240x240 px.
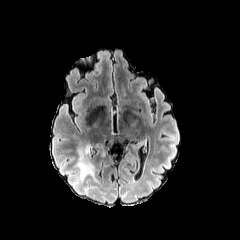
FLAIR MRI.
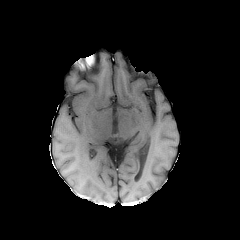
T1-weighted magnetic resonance.
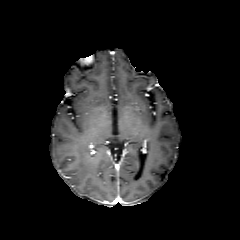
Post-contrast T1-weighted MRI.
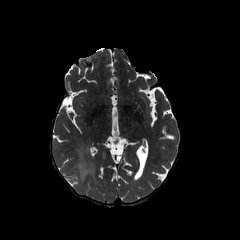
Same slice, T2-weighted MR image.
{"peritumoral_edema": ["[76, 141, 99, 182]"]}